Slice index 90. Head. Image width 240 mm.
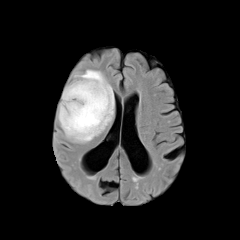
FLAIR magnetic resonance.
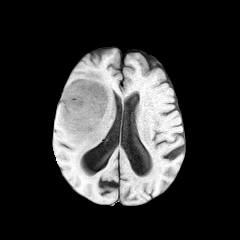
T1-weighted MR image.
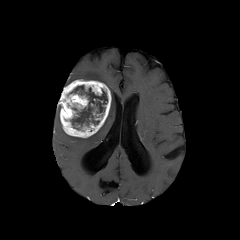
Post-contrast T1-weighted magnetic resonance.
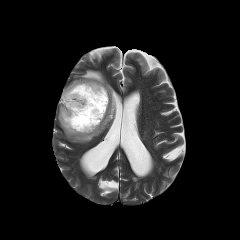
T2-weighted MR image.
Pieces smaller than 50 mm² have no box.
{"necrotic_tumor_core": ["70, 85, 107, 125"], "peritumoral_edema": ["65, 70, 114, 143"], "enhancing_tumor": ["59, 79, 111, 137"]}